FLAIR MR image.
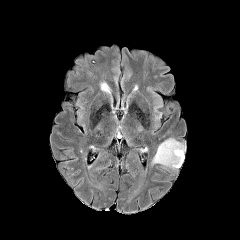
T1-weighted MRI.
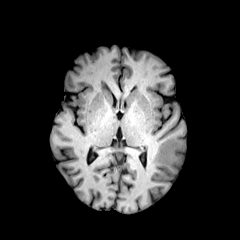
Post-contrast T1-weighted MRI.
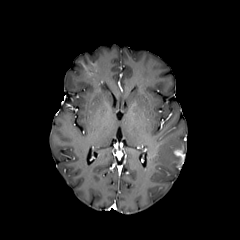
T2-weighted magnetic resonance.
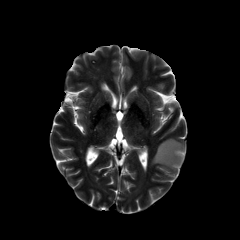
Axial slice.
enhancing tumor: [174, 147, 184, 168] | peritumoral edema: [152, 138, 185, 169]